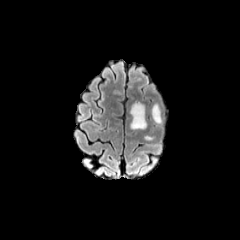
FLAIR MR.
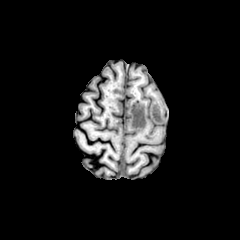
T1-weighted magnetic resonance of the same slice.
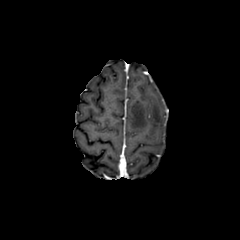
Post-contrast T1-weighted MR image.
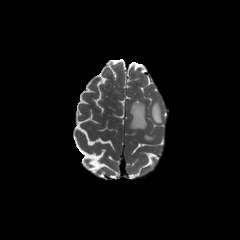
T2-weighted MRI of the same slice.
Brain
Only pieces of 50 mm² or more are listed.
peritumoral_edema:
  - [151,103,162,123]
  - [130,102,146,129]